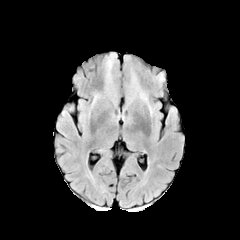
FLAIR MRI.
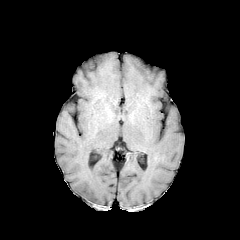
T1-weighted MRI.
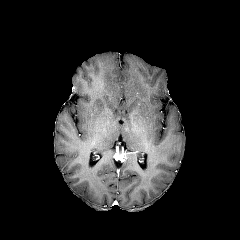
Post-contrast T1-weighted MR image.
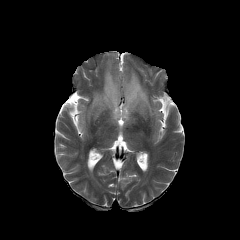
T2-weighted MRI of the same slice.
Axial plane; 240x240
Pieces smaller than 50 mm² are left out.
Annotated regions:
- peritumoral edema: l=125, t=72, r=152, b=114; l=105, t=58, r=117, b=105